Axial plane; Slice index 137; Head
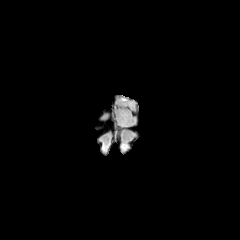
FLAIR MRI.
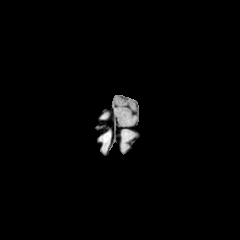
T1-weighted MR of the same slice.
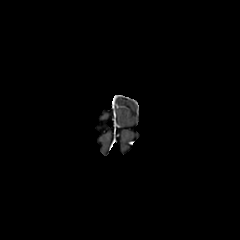
Post-contrast T1-weighted MR.
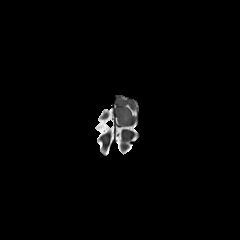
T2-weighted MR image.
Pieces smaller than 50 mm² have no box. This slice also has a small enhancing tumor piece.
The peritumoral edema lies within [117, 97, 134, 125].